FLAIR magnetic resonance.
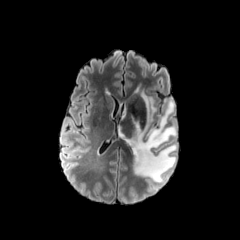
T1-weighted MR.
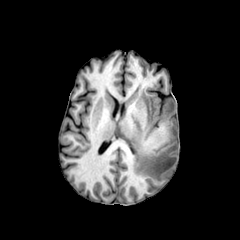
Post-contrast T1-weighted MR image.
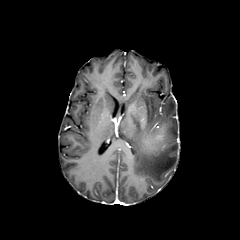
T2-weighted MRI.
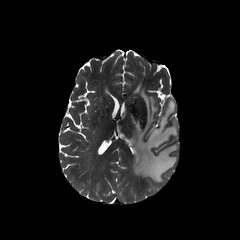
240x240 px
<segmentation>
  <enhancing_tumor>149 130 163 146</enhancing_tumor>
  <peritumoral_edema>118 92 177 183</peritumoral_edema>
</segmentation>